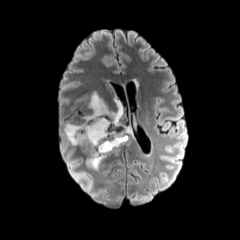
FLAIR MR image.
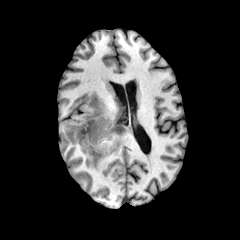
T1-weighted MR image.
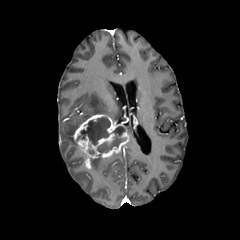
Post-contrast T1-weighted MR image.
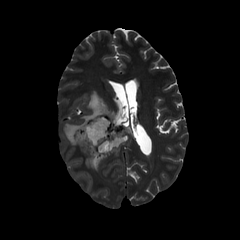
T2-weighted MR.
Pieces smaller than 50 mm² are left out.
The 2 largest necrotic tumor core regions are bounded by box=[77, 117, 110, 145]; box=[97, 127, 126, 153]. The enhancing tumor lies within box=[73, 114, 128, 169]. The 3 largest peritumoral edema regions appear at box=[91, 158, 103, 170]; box=[83, 92, 122, 120]; box=[64, 123, 81, 145].